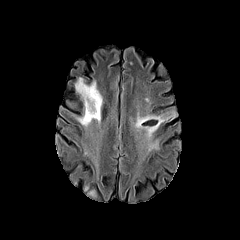
FLAIR magnetic resonance.
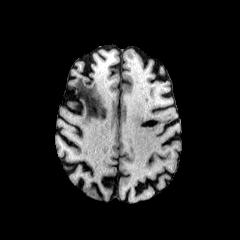
T1-weighted MR image.
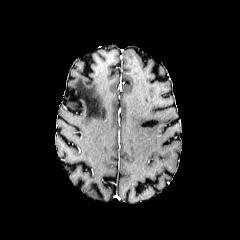
Post-contrast T1-weighted MR of the same slice.
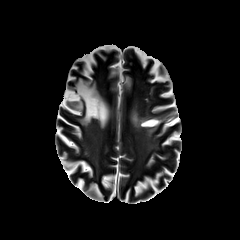
T2-weighted magnetic resonance.
Axial view. Brain.
3 peritumoral edema regions appear at (75, 78, 102, 126), (83, 183, 97, 199), (136, 113, 166, 136).